Axial slice | Slice 73/155
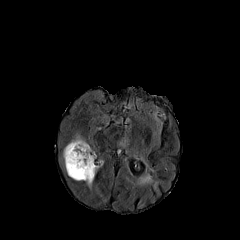
FLAIR MR image.
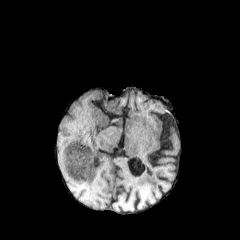
T1-weighted MR of the same slice.
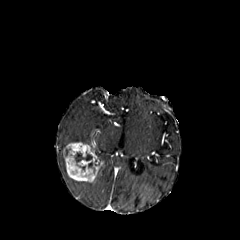
Post-contrast T1-weighted MR of the same slice.
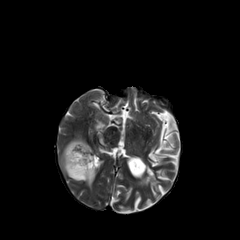
T2-weighted magnetic resonance of the same slice.
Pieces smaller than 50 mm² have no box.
The largest necrotic tumor core region is located at (75,152,92,162). The enhancing tumor is located at (63,142,102,182). The largest peritumoral edema region appears at (70,135,87,143).